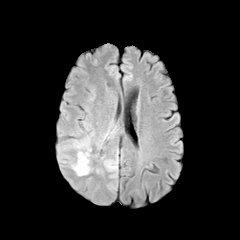
FLAIR MR image.
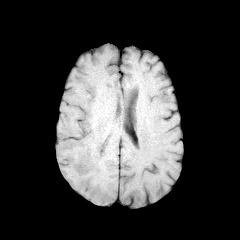
T1-weighted MR image of the same slice.
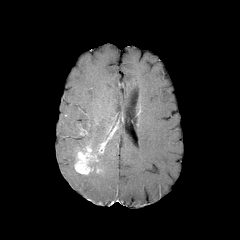
Post-contrast T1-weighted MR image.
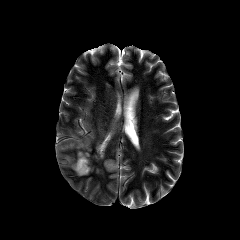
Same slice, T2-weighted MR image.
Brain
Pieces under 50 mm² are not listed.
Annotated regions:
* peritumoral edema: rect(97, 129, 115, 153); rect(65, 132, 93, 152); rect(104, 159, 117, 171)
* enhancing tumor: rect(74, 146, 97, 174)